FLAIR magnetic resonance.
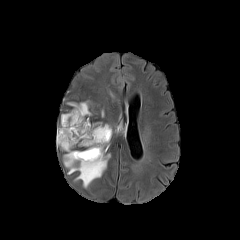
T1-weighted MR.
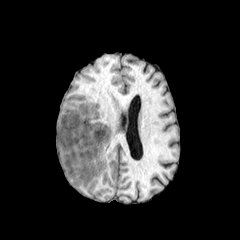
Post-contrast T1-weighted magnetic resonance.
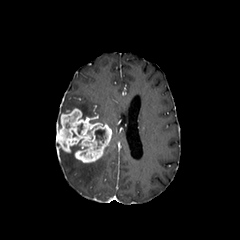
T2-weighted magnetic resonance.
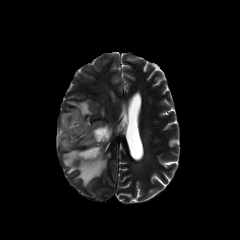
Axial view | Brain
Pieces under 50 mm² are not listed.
enhancing tumor: region(56, 108, 112, 162) | peritumoral edema: region(67, 101, 91, 118); region(63, 146, 110, 188) | necrotic tumor core: region(95, 129, 105, 142)